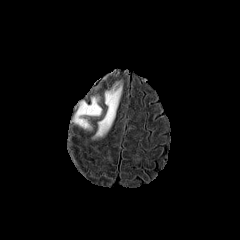
FLAIR MR image.
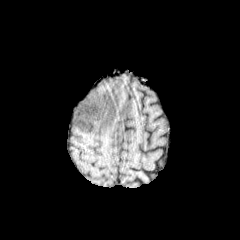
T1-weighted MRI.
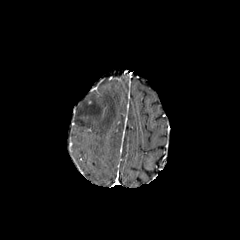
Post-contrast T1-weighted MR of the same slice.
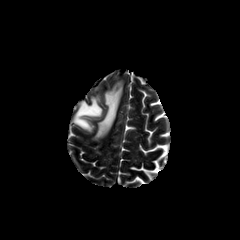
T2-weighted MR.
Head
Findings:
* peritumoral edema: x1=91 y1=80 x2=123 y2=140, x1=72 y1=95 x2=102 y2=132